FLAIR magnetic resonance.
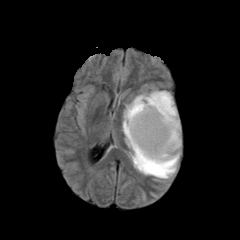
T1-weighted MR.
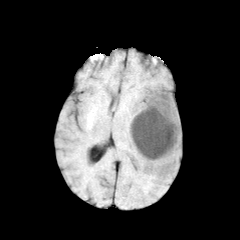
Post-contrast T1-weighted MR.
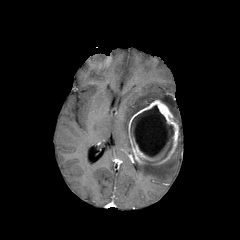
T2-weighted MR.
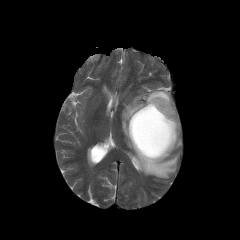
Brain, Axial slice, Image size 240x240
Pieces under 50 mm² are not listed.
enhancing tumor at {"x1": 128, "y1": 99, "x2": 179, "y2": 164}
necrotic tumor core at {"x1": 131, "y1": 105, "x2": 173, "y2": 160}
peritumoral edema at {"x1": 122, "y1": 90, "x2": 181, "y2": 178}